Brain | Slice 64/155
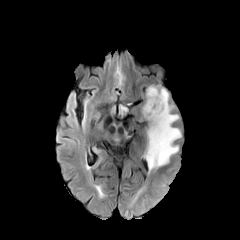
FLAIR magnetic resonance.
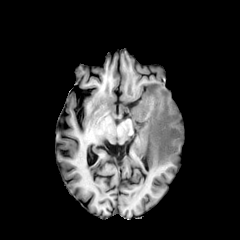
T1-weighted MR image.
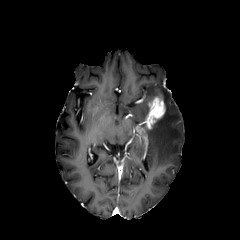
Post-contrast T1-weighted magnetic resonance.
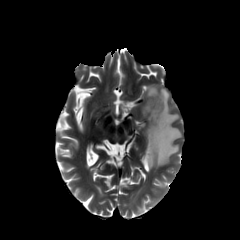
Same slice, T2-weighted MR.
peritumoral edema — x1=142 y1=86 x2=180 y2=171
enhancing tumor — x1=144 y1=97 x2=165 y2=129